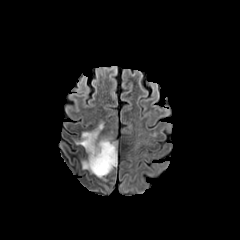
FLAIR magnetic resonance.
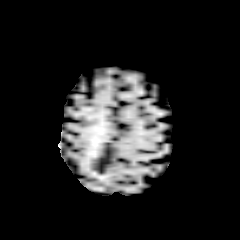
T1-weighted MR of the same slice.
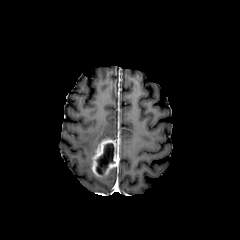
Post-contrast T1-weighted MR image.
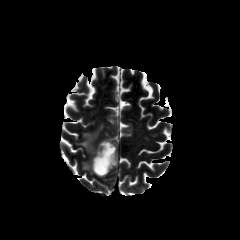
Same slice, T2-weighted magnetic resonance.
Image size 240x240
The necrotic tumor core appears at region(96, 143, 114, 174). The peritumoral edema appears at region(76, 123, 103, 173). The enhancing tumor appears at region(91, 138, 118, 178).